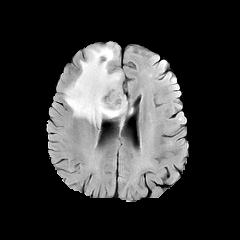
FLAIR MR.
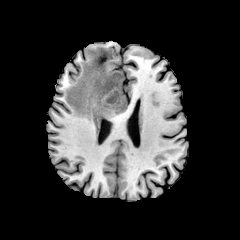
T1-weighted MR image.
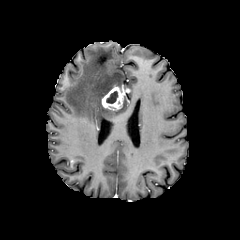
Same slice, post-contrast T1-weighted magnetic resonance.
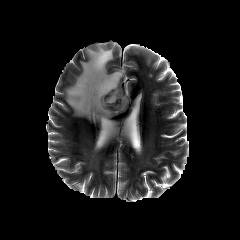
T2-weighted MR.
Head | Axial plane | 240x240
Annotated regions:
- peritumoral edema: x1=64, y1=46, x2=127, y2=123
- necrotic tumor core: x1=106, y1=91, x2=117, y2=103
- enhancing tumor: x1=102, y1=85, x2=129, y2=110